Image width 240 mm | Head
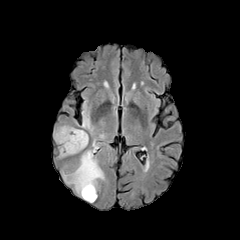
FLAIR MRI.
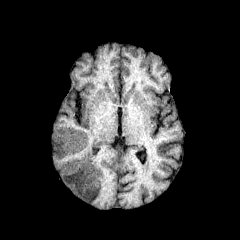
T1-weighted MRI.
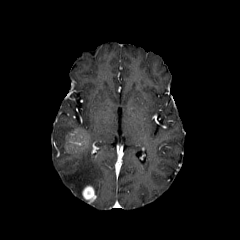
Post-contrast T1-weighted MRI.
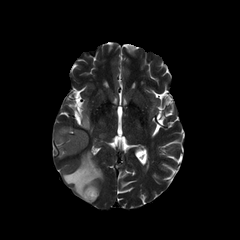
T2-weighted magnetic resonance.
peritumoral edema: (54,125,74,157), (82,111,92,130), (62,150,104,197) | enhancing tumor: (64,129,88,153), (82,185,96,202)